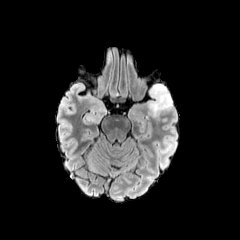
FLAIR MRI.
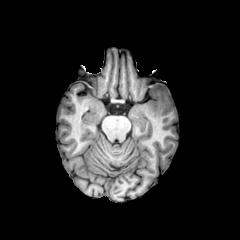
Same slice, T1-weighted MR image.
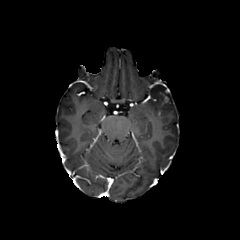
Post-contrast T1-weighted MR image.
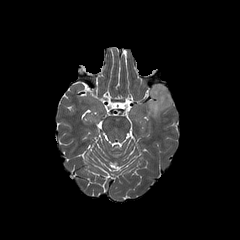
T2-weighted magnetic resonance of the same slice.
Image size 240x240.
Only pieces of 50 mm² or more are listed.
peritumoral edema — 146,84,172,117
enhancing tumor — 159,89,171,105